FLAIR magnetic resonance.
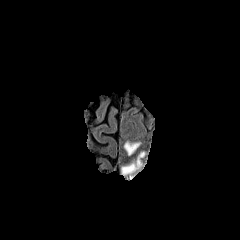
T1-weighted magnetic resonance.
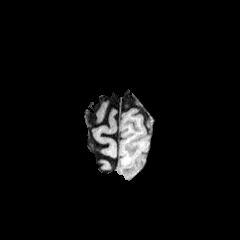
Post-contrast T1-weighted MRI.
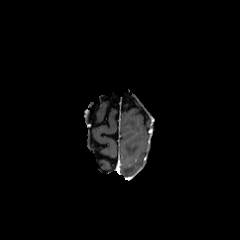
T2-weighted MR image.
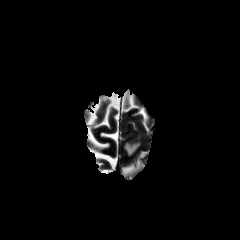
Brain, Image size 240x240, Axial plane
2 peritumoral edema regions are bounded by bbox=[121, 152, 144, 175]; bbox=[124, 142, 139, 155].